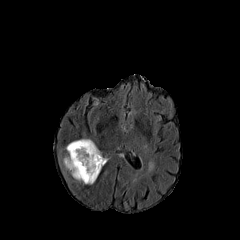
FLAIR magnetic resonance.
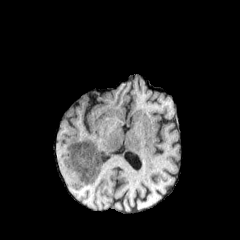
T1-weighted MRI.
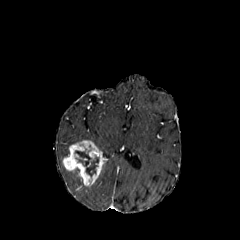
Post-contrast T1-weighted MRI.
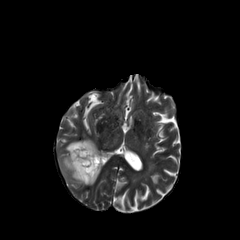
Same slice, T2-weighted magnetic resonance.
Axial plane | Head
Segmented structures:
- necrotic tumor core: rect(75, 151, 91, 166); rect(86, 157, 98, 176)
- peritumoral edema: rect(63, 138, 91, 157); rect(61, 159, 82, 182)
- enhancing tumor: rect(62, 140, 103, 185)